Slice 93 of 155
FLAIR MR.
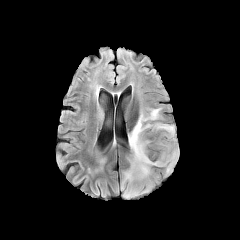
T1-weighted MR image.
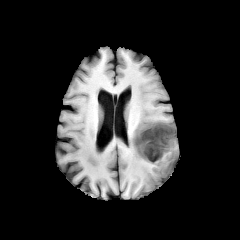
Post-contrast T1-weighted MR image.
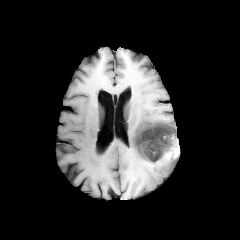
T2-weighted MRI.
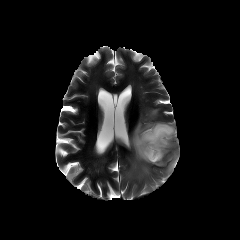
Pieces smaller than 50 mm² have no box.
The largest enhancing tumor region is located at x1=136, y1=124, x2=178, y2=163. The largest peritumoral edema region is bounded by x1=126, y1=108, x2=177, y2=178. The necrotic tumor core is located at x1=137, y1=125, x2=175, y2=162.